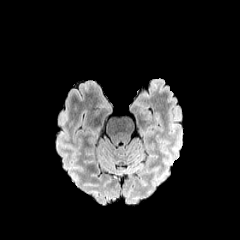
FLAIR magnetic resonance.
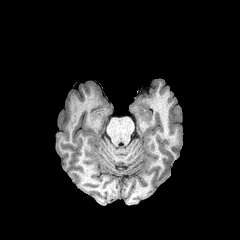
T1-weighted MRI.
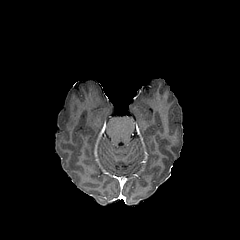
Same slice, post-contrast T1-weighted MR.
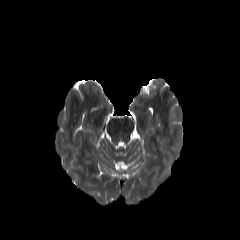
T2-weighted MR image of the same slice.
240x240 px.
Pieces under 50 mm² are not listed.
The largest peritumoral edema region is bounded by <box>164,158,171,169</box>.